FLAIR MR.
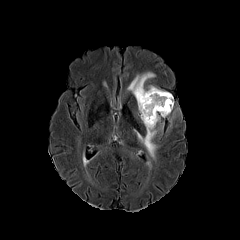
T1-weighted MR.
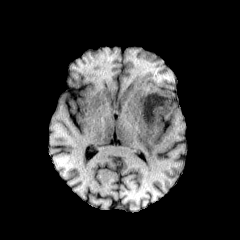
Post-contrast T1-weighted magnetic resonance.
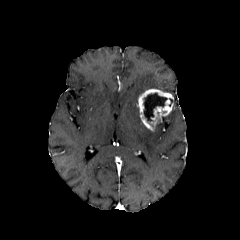
T2-weighted MR.
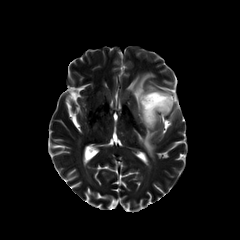
Head, 240x240 px
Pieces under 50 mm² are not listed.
<segmentation>
  <enhancing_tumor>left=137, top=88, right=173, bottom=131</enhancing_tumor>
  <peritumoral_edema>left=127, top=72, right=158, bottom=103; left=134, top=123, right=163, bottom=159</peritumoral_edema>
  <necrotic_tumor_core>left=144, top=93, right=167, bottom=121</necrotic_tumor_core>
</segmentation>